FLAIR MR.
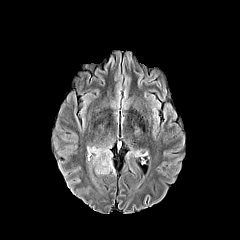
T1-weighted MR image.
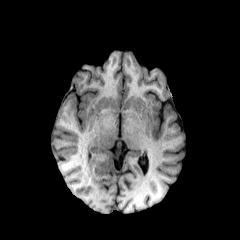
Post-contrast T1-weighted magnetic resonance.
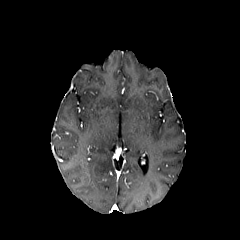
T2-weighted MR image.
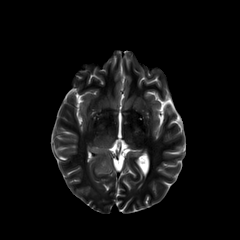
240x240, Head
2 peritumoral edema regions are located at 91, 148, 105, 158; 95, 157, 114, 173.